FLAIR MRI.
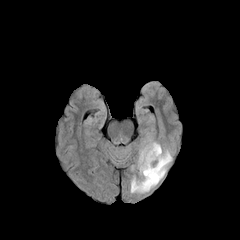
T1-weighted magnetic resonance.
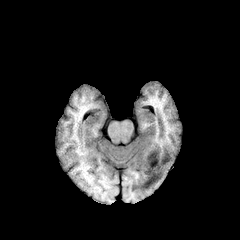
Post-contrast T1-weighted magnetic resonance.
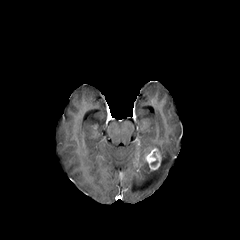
T2-weighted magnetic resonance.
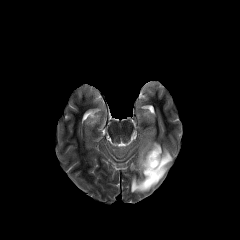
Brain
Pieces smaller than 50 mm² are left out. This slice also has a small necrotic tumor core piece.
Segmented structures:
• peritumoral edema: (x1=130, y1=135, x2=172, y2=194)
• enhancing tumor: (x1=143, y1=147, x2=161, y2=170)